Head
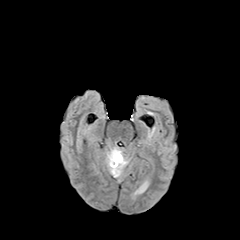
FLAIR MR.
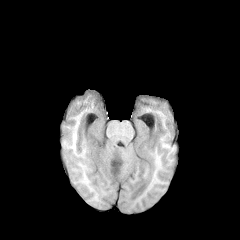
Same slice, T1-weighted magnetic resonance.
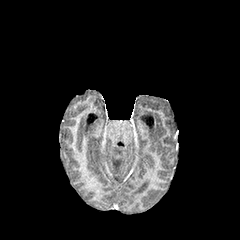
Post-contrast T1-weighted MRI.
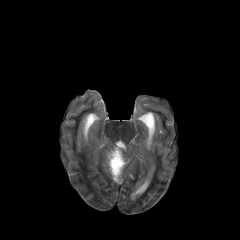
T2-weighted MR image.
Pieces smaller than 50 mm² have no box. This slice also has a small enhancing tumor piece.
<segmentation>
  <peritumoral_edema>x1=107, y1=147, x2=128, y2=177</peritumoral_edema>
</segmentation>